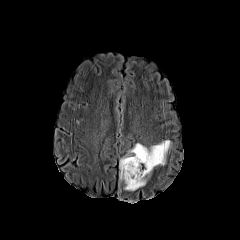
FLAIR magnetic resonance.
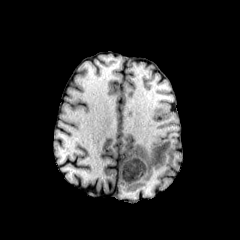
T1-weighted magnetic resonance.
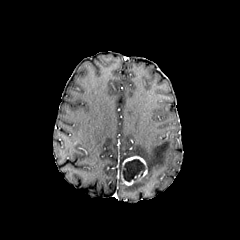
Post-contrast T1-weighted magnetic resonance.
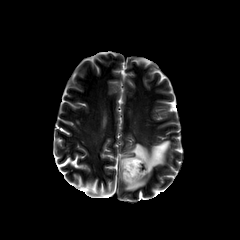
Same slice, T2-weighted MRI.
Brain; Image size 240x240
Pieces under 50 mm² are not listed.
<segmentation>
  <peritumoral_edema>119,140,171,181; 124,176,146,190</peritumoral_edema>
  <enhancing_tumor>121,156,147,185</enhancing_tumor>
  <necrotic_tumor_core>123,159,144,181</necrotic_tumor_core>
</segmentation>